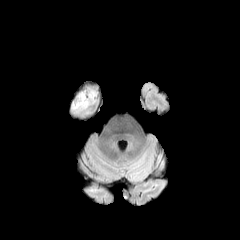
FLAIR MRI.
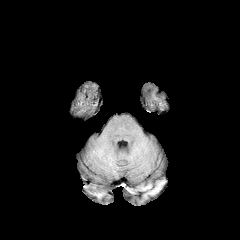
T1-weighted magnetic resonance.
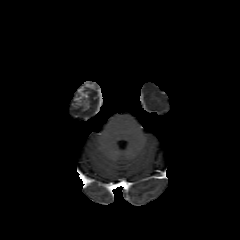
Same slice, post-contrast T1-weighted MRI.
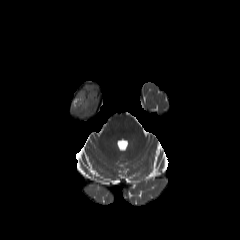
T2-weighted MR image of the same slice.
Axial plane.
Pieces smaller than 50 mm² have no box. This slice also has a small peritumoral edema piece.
enhancing tumor — <box>75,93,86,106</box>